FLAIR MR image.
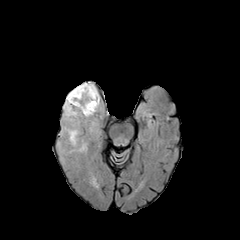
T1-weighted MR.
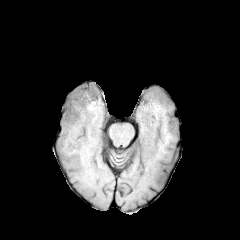
Post-contrast T1-weighted MRI.
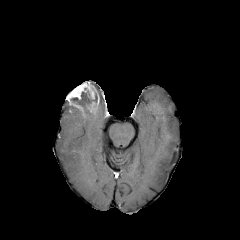
T2-weighted MR image.
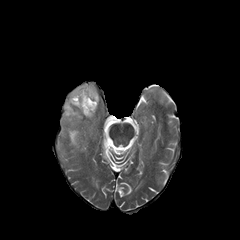
Brain, Axial plane, Image size 240x240
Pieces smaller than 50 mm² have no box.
{
  "enhancing_tumor": [
    "(x1=66, y1=82, x2=99, y2=115)"
  ],
  "necrotic_tumor_core": [
    "(x1=71, y1=92, x2=97, y2=112)"
  ],
  "peritumoral_edema": [
    "(x1=79, y1=140, x2=86, y2=150)",
    "(x1=64, y1=100, x2=82, y2=120)",
    "(x1=67, y1=129, x2=78, y2=146)"
  ]
}